FLAIR magnetic resonance.
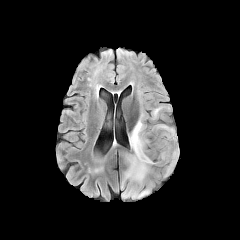
T1-weighted magnetic resonance.
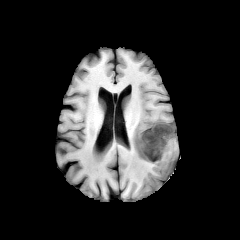
Post-contrast T1-weighted MR.
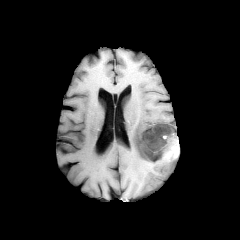
T2-weighted magnetic resonance.
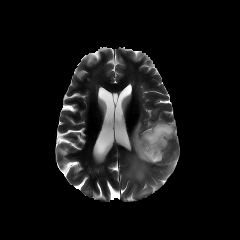
Axial plane | Brain
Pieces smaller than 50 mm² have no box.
{"enhancing_tumor": ["region(137, 125, 178, 161)"], "peritumoral_edema": ["region(125, 113, 176, 182)", "region(151, 108, 160, 119)"], "necrotic_tumor_core": ["region(138, 126, 175, 160)"]}